Slice 56/155 | Axial slice | Image size 240x240 | Head
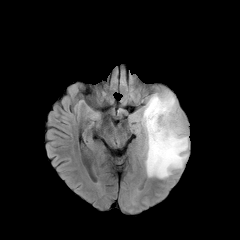
FLAIR MR image.
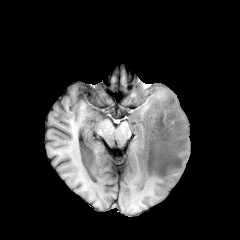
T1-weighted MR.
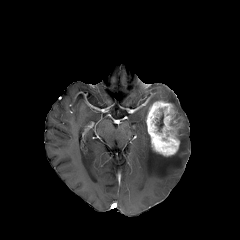
Post-contrast T1-weighted MR image.
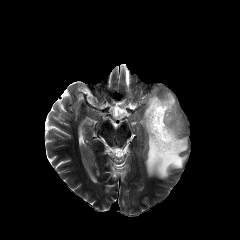
T2-weighted MR image.
enhancing tumor: 146 100 183 156
necrotic tumor core: 157 114 163 130
peritumoral edema: 133 91 188 178